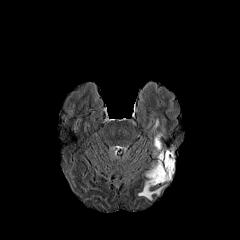
FLAIR MR image.
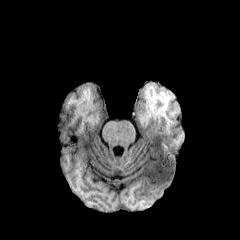
T1-weighted MR of the same slice.
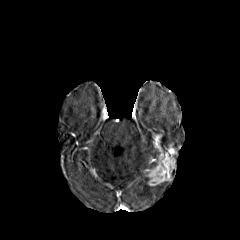
Post-contrast T1-weighted MR.
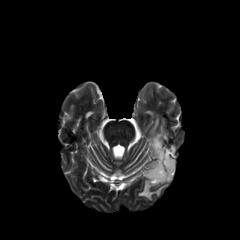
Same slice, T2-weighted MR image.
Axial plane.
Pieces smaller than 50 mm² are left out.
Annotated regions:
* enhancing tumor: 145, 134, 175, 185
* peritumoral edema: 152, 118, 161, 133; 138, 180, 165, 200